Image size 240x240; Slice 96 of 155
FLAIR MR image.
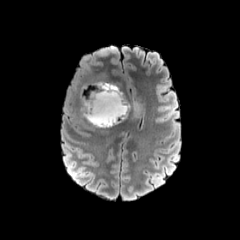
T1-weighted MR.
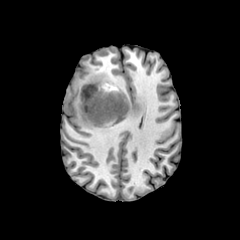
Post-contrast T1-weighted MRI.
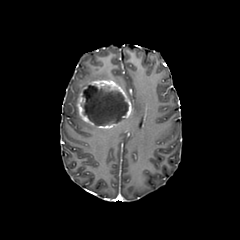
T2-weighted MR.
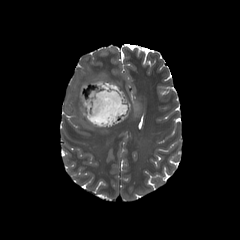
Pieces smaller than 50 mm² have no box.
The largest peritumoral edema region is bounded by (x1=130, y1=98, x2=144, y2=119). The necrotic tumor core appears at (x1=82, y1=85, x2=128, y2=125). The largest enhancing tumor region is at (x1=76, y1=80, x2=132, y2=128).